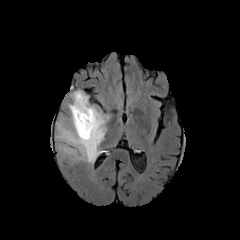
FLAIR magnetic resonance.
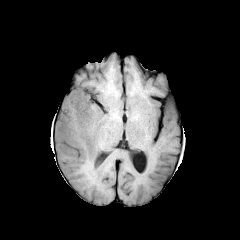
T1-weighted MRI of the same slice.
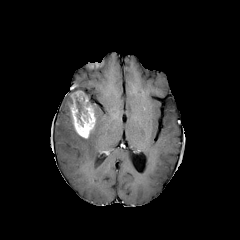
Same slice, post-contrast T1-weighted MR.
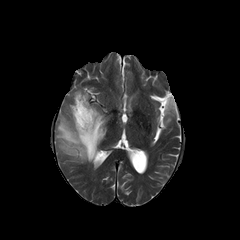
T2-weighted MRI of the same slice.
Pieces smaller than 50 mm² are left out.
The enhancing tumor is at x1=69, y1=90, x2=96, y2=138. The peritumoral edema appears at x1=56, y1=101, x2=108, y2=163. The largest necrotic tumor core region is located at x1=76, y1=98, x2=81, y2=113.